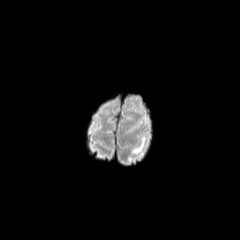
FLAIR MRI.
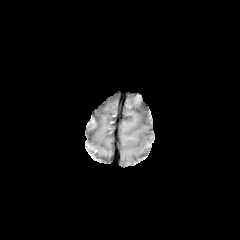
T1-weighted magnetic resonance.
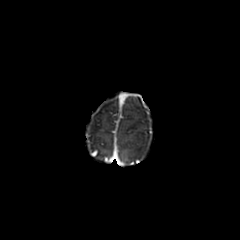
Post-contrast T1-weighted MR image.
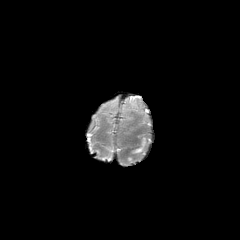
Same slice, T2-weighted MR.
240x240. Head.
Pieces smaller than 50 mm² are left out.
* peritumoral edema: 133, 138, 145, 153